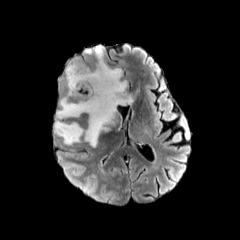
FLAIR MR.
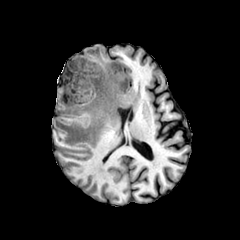
Same slice, T1-weighted MRI.
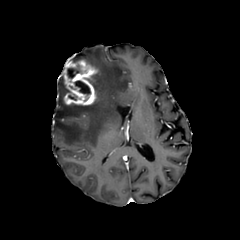
Post-contrast T1-weighted MR image.
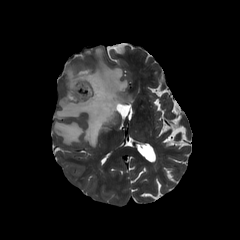
T2-weighted MR of the same slice.
Head.
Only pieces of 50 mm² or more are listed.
necrotic tumor core: x1=75 y1=81 x2=90 y2=94, x1=67 y1=68 x2=79 y2=78 | peritumoral edema: x1=54 y1=46 x2=132 y2=147 | enhancing tumor: x1=63 y1=60 x2=98 y2=105